FLAIR magnetic resonance.
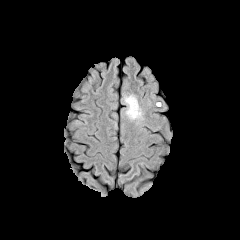
T1-weighted MR image.
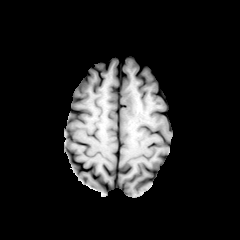
Post-contrast T1-weighted MRI.
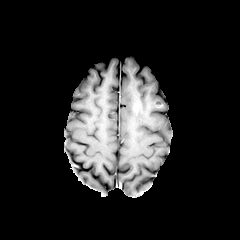
T2-weighted MRI.
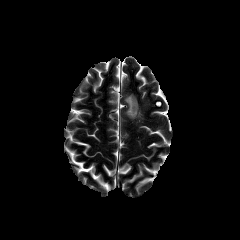
240x240 px | Axial view | Brain
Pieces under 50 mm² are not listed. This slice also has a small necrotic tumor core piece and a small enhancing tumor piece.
The peritumoral edema lies within [124, 94, 142, 120].